Head; Image size 240x240; Slice 121 of 155
FLAIR MR.
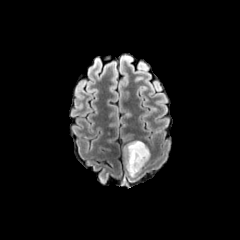
T1-weighted MR.
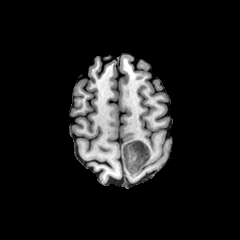
Post-contrast T1-weighted MR.
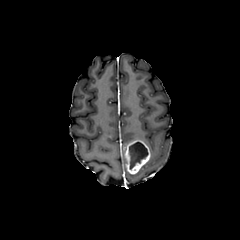
T2-weighted MRI.
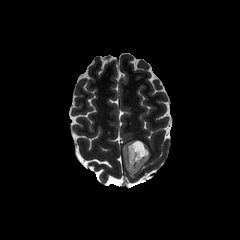
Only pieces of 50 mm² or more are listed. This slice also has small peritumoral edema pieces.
Findings:
* enhancing tumor: rect(123, 140, 150, 174)
* necrotic tumor core: rect(129, 142, 148, 169)